240x240. Image covers 240 mm x 240 mm. Axial slice.
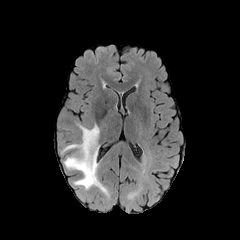
FLAIR magnetic resonance.
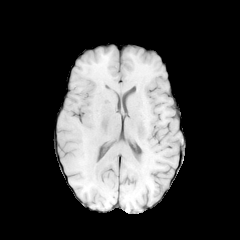
Same slice, T1-weighted MRI.
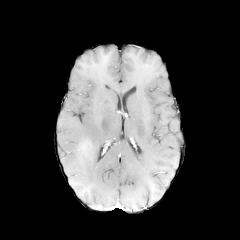
Post-contrast T1-weighted MR.
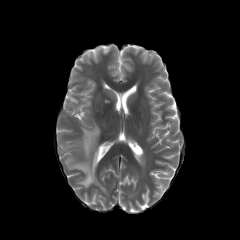
T2-weighted MR.
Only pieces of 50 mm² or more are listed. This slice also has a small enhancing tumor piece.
{
  "peritumoral_edema": [
    "left=60, top=123, right=108, bottom=195"
  ]
}